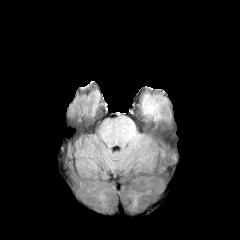
FLAIR MRI.
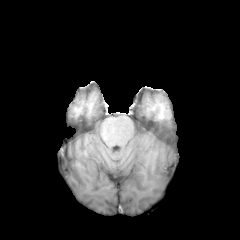
Same slice, T1-weighted magnetic resonance.
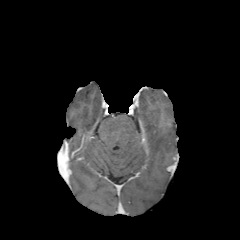
Post-contrast T1-weighted magnetic resonance of the same slice.
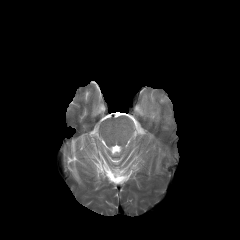
T2-weighted MR image.
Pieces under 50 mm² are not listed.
peritumoral edema: bounding box 142:97:158:114